FLAIR magnetic resonance.
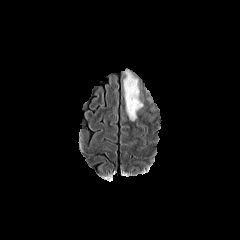
T1-weighted magnetic resonance.
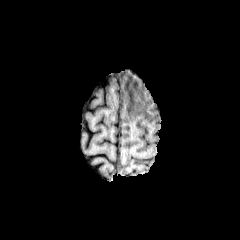
Post-contrast T1-weighted MRI.
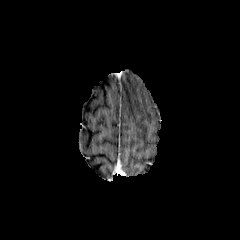
T2-weighted MR image.
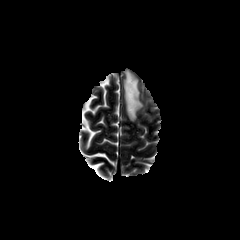
Axial slice; 240x240; Brain
Findings:
* peritumoral edema: x1=124 y1=72 x2=142 y2=120